FLAIR magnetic resonance.
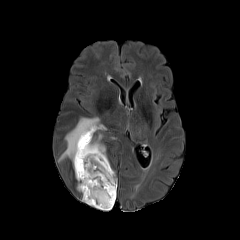
T1-weighted MR.
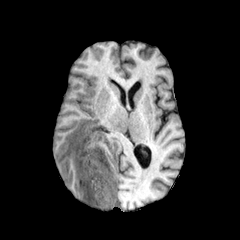
Post-contrast T1-weighted MR.
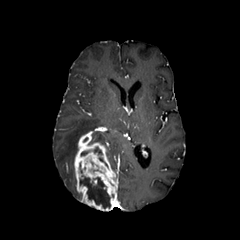
T2-weighted MR.
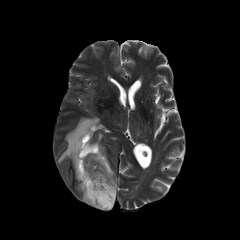
Head | 240x240 | Axial plane
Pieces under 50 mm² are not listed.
The largest necrotic tumor core region appears at x1=80, y1=177, x2=110, y2=208. The 2 largest peritumoral edema regions are located at x1=90, y1=132, x2=102, y2=143; x1=58, y1=117, x2=103, y2=166. The enhancing tumor is bounded by x1=74, y1=128, x2=117, y2=210.